Axial slice
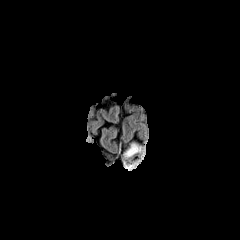
FLAIR magnetic resonance.
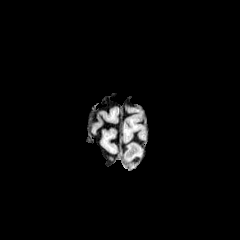
T1-weighted MR image.
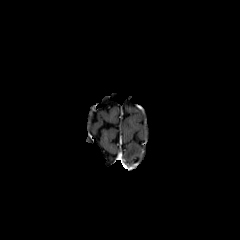
Post-contrast T1-weighted MR.
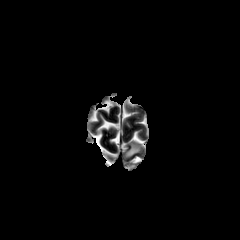
T2-weighted MR image.
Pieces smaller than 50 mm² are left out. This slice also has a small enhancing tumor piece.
{"peritumoral_edema": ["[124,143,141,158]"]}